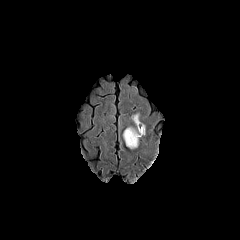
FLAIR magnetic resonance.
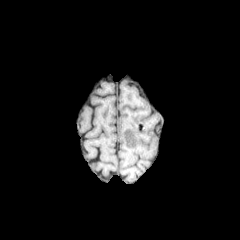
T1-weighted MR.
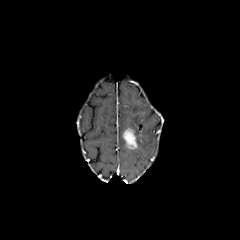
Post-contrast T1-weighted MRI of the same slice.
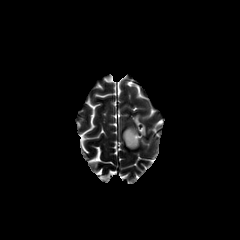
Same slice, T2-weighted MR image.
Axial view; Brain
The peritumoral edema is located at rect(128, 127, 141, 145). The enhancing tumor appears at rect(123, 128, 137, 148).